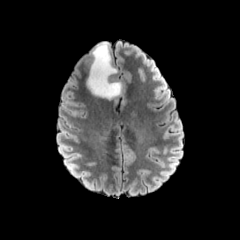
FLAIR magnetic resonance.
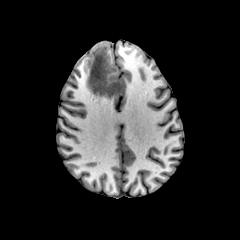
T1-weighted MR image.
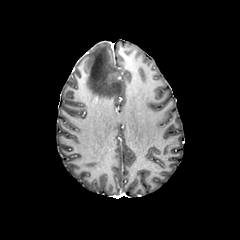
Post-contrast T1-weighted MRI of the same slice.
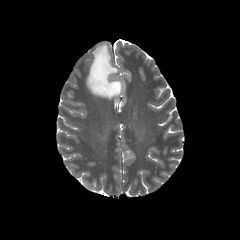
Same slice, T2-weighted MRI.
240x240, Brain
peritumoral_edema:
  - region(87, 42, 122, 99)